Brain, Slice 80/155, 240x240, Axial slice
FLAIR MR.
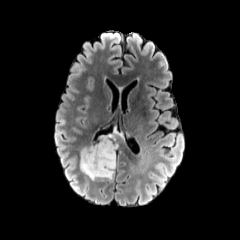
T1-weighted MR image.
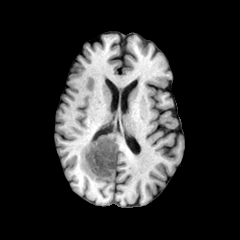
Post-contrast T1-weighted MRI.
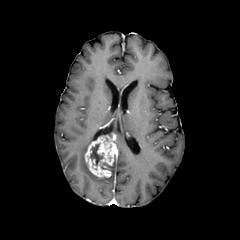
T2-weighted MR.
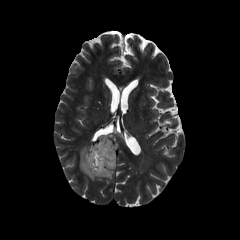
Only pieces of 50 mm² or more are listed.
The largest necrotic tumor core region is bounded by 90 144 102 165. The 2 largest peritumoral edema regions are bounded by 80 146 98 179, 100 161 116 179. The enhancing tumor appears at 84 133 117 177.